Brain, Axial view
FLAIR MR image.
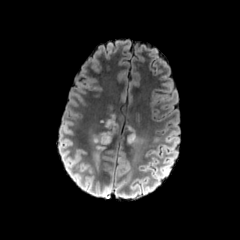
T1-weighted MRI.
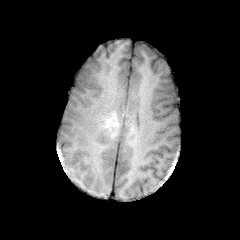
Post-contrast T1-weighted MR image.
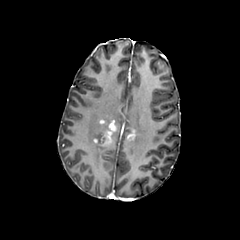
T2-weighted MR image.
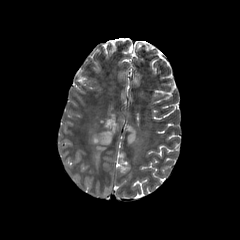
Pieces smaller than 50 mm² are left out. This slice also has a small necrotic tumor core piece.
* peritumoral edema: [x1=89, y1=131, x2=109, y2=172], [x1=127, y1=134, x2=148, y2=157]
* enhancing tumor: [x1=99, y1=116, x2=118, y2=144], [x1=127, y1=127, x2=134, y2=140]